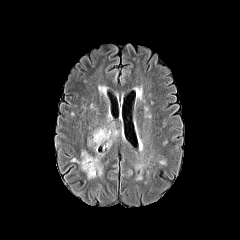
FLAIR MRI.
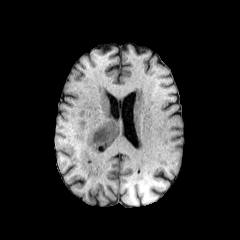
T1-weighted MR.
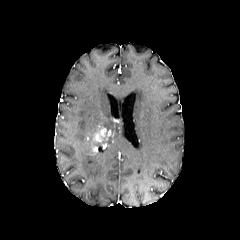
Post-contrast T1-weighted MR of the same slice.
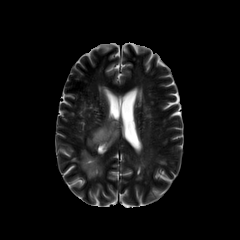
T2-weighted MR image.
240x240.
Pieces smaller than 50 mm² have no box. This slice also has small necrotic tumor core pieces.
enhancing tumor: bounding box rect(90, 127, 115, 151)
peritumoral edema: bounding box rect(73, 150, 102, 179); rect(100, 119, 120, 147)